Slice 110/155, Image width 240 mm, 1.00 mm slice spacing
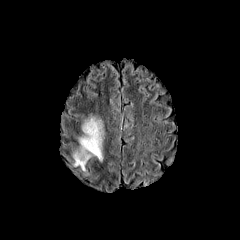
FLAIR MR.
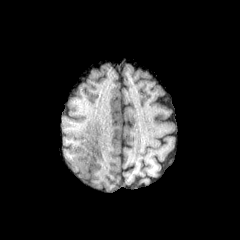
T1-weighted magnetic resonance.
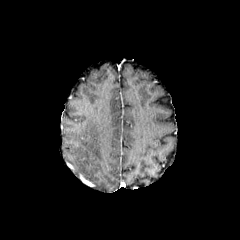
Post-contrast T1-weighted MR.
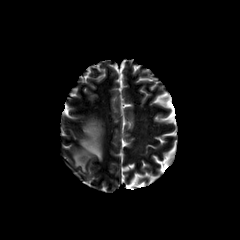
T2-weighted MR image of the same slice.
The peritumoral edema is located at box(71, 114, 105, 171).